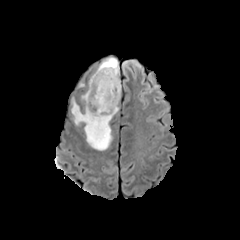
FLAIR MRI.
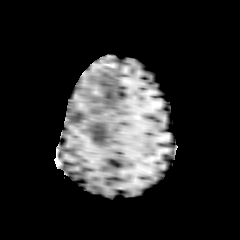
T1-weighted MR of the same slice.
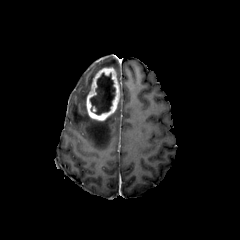
Post-contrast T1-weighted magnetic resonance of the same slice.
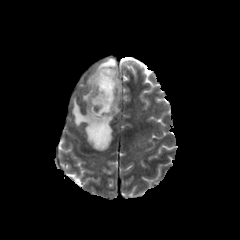
T2-weighted magnetic resonance.
Head
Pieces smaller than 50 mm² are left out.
The largest enhancing tumor region appears at l=86, t=67, r=120, b=121. The 2 largest peritumoral edema regions are bounded by l=89, t=57, r=119, b=89; l=72, t=103, r=118, b=150. The largest necrotic tumor core region is bounded by l=90, t=73, r=115, b=114.